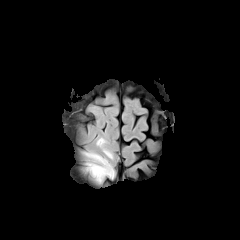
FLAIR MR image.
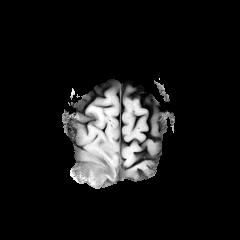
Same slice, T1-weighted MR image.
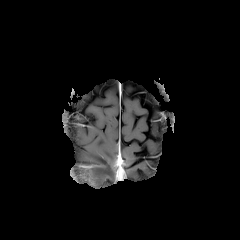
Post-contrast T1-weighted MR image of the same slice.
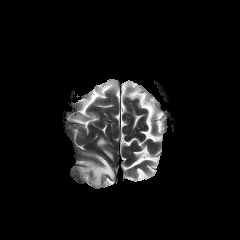
T2-weighted MRI.
Axial slice; 240x240 px
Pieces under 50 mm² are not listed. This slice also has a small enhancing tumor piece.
{"peritumoral_edema": ["x1=96, y1=137, x2=113, y2=158", "x1=83, y1=152, x2=114, y2=183"]}